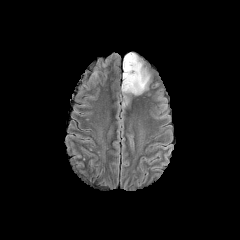
FLAIR MR.
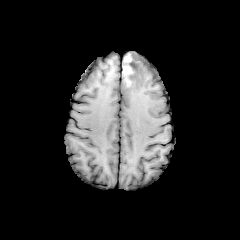
T1-weighted MR of the same slice.
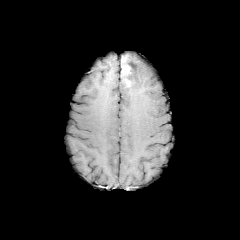
Same slice, post-contrast T1-weighted MRI.
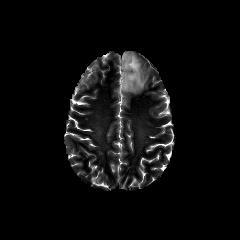
Same slice, T2-weighted MR.
Head; Axial slice; 240x240
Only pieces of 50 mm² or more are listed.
{"peritumoral_edema": ["box=[121, 52, 149, 104]"], "enhancing_tumor": ["box=[122, 56, 132, 87]"], "necrotic_tumor_core": ["box=[124, 55, 136, 86]"]}